Slice 48/155, Brain
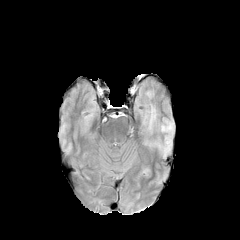
FLAIR MR.
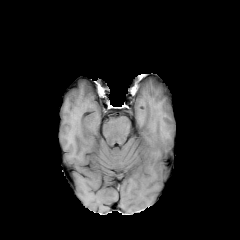
T1-weighted MRI of the same slice.
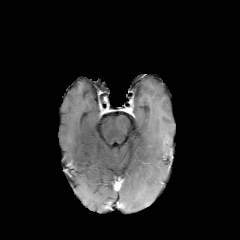
Post-contrast T1-weighted MRI.
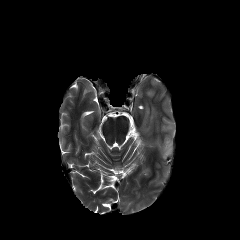
Same slice, T2-weighted MR image.
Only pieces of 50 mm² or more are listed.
peritumoral edema: (left=163, top=137, right=170, bottom=152)